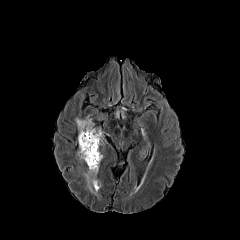
FLAIR MRI.
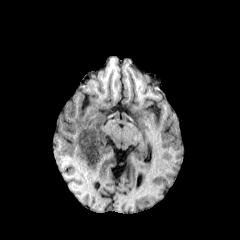
T1-weighted MR.
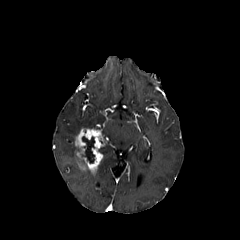
Post-contrast T1-weighted MR.
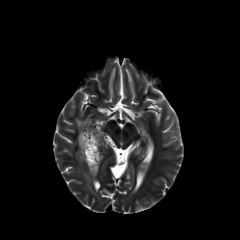
T2-weighted magnetic resonance of the same slice.
Head
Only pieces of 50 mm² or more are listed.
<segmentation>
  <necrotic_tumor_core>l=82, t=136, r=94, b=162</necrotic_tumor_core>
  <enhancing_tumor>l=75, t=128, r=105, b=175</enhancing_tumor>
  <peritumoral_edema>l=83, t=165, r=99, b=194; l=75, t=115, r=93, b=131</peritumoral_edema>
</segmentation>